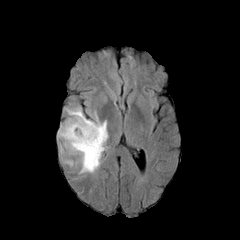
FLAIR MR image.
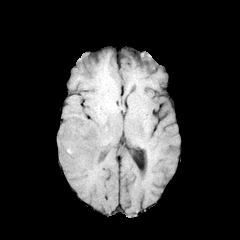
T1-weighted magnetic resonance.
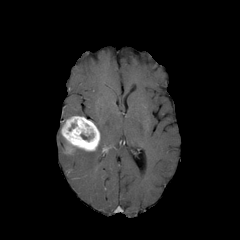
Post-contrast T1-weighted MR image.
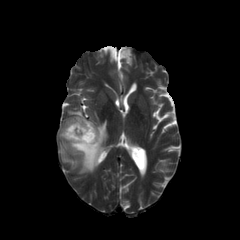
T2-weighted MR image.
Axial view. 240x240 px. Head.
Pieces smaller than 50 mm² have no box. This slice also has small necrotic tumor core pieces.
2 peritumoral edema regions appear at l=58, t=112, r=108, b=173; l=66, t=107, r=83, b=116. The enhancing tumor lies within l=61, t=116, r=100, b=153.